Slice 58 of 155.
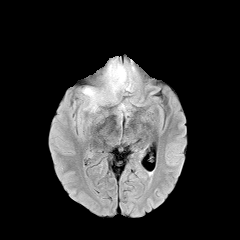
FLAIR MR image.
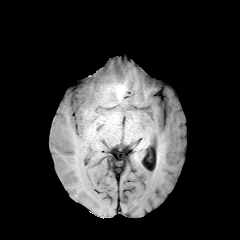
T1-weighted magnetic resonance.
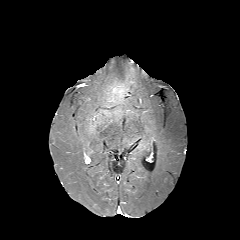
Post-contrast T1-weighted MR image of the same slice.
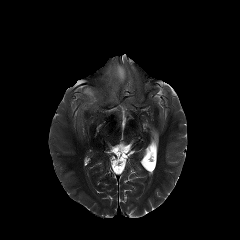
T2-weighted MRI of the same slice.
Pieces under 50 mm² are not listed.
peritumoral edema: bounding box x1=106, y1=61, x2=130, y2=96; x1=82, y1=87, x2=103, y2=111